FLAIR MRI.
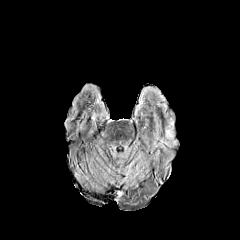
T1-weighted magnetic resonance.
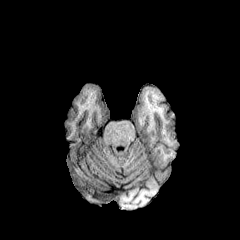
Post-contrast T1-weighted magnetic resonance.
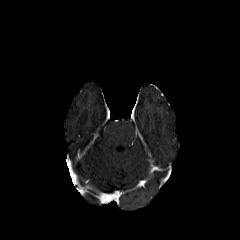
T2-weighted MR.
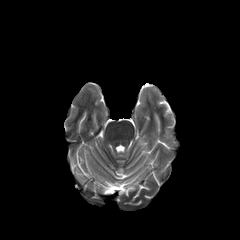
Image size 240x240, Axial slice
peritumoral edema at x1=166, y1=130, x2=172, y2=137